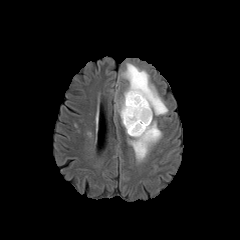
FLAIR MR image.
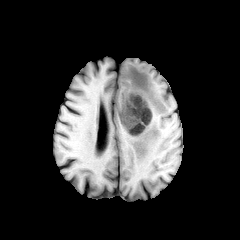
T1-weighted MR image of the same slice.
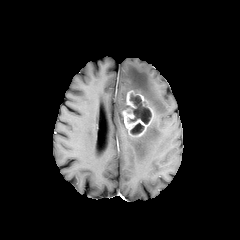
Same slice, post-contrast T1-weighted MR.
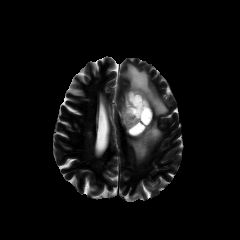
Same slice, T2-weighted magnetic resonance.
Brain, Axial view
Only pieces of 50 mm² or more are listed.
{"enhancing_tumor": ["<box>122,90,153,137</box>"], "peritumoral_edema": ["<box>128,118,162,161</box>", "<box>115,63,168,126</box>"], "necrotic_tumor_core": ["<box>129,95,151,124</box>", "<box>130,123,144,134</box>"]}